Image width 240 mm, 1.00 mm slice spacing | 240x240
FLAIR MR image.
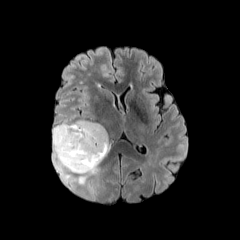
T1-weighted MR.
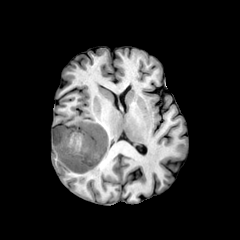
Post-contrast T1-weighted MRI.
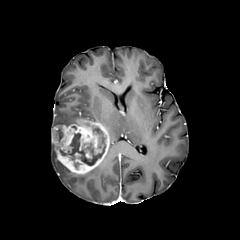
T2-weighted MRI.
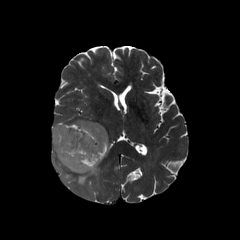
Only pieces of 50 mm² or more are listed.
Segmented structures:
* enhancing tumor: 52 119 110 174
* necrotic tumor core: 60 127 105 165
* peritumoral edema: 52 144 70 180, 77 166 98 184